Slice index 105.
FLAIR MRI.
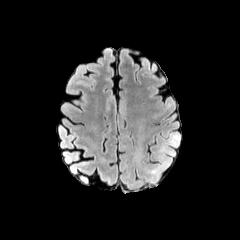
T1-weighted MR image.
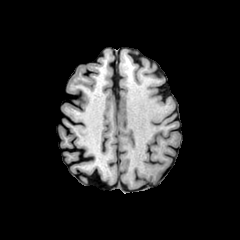
Post-contrast T1-weighted magnetic resonance.
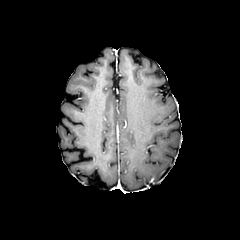
T2-weighted MR.
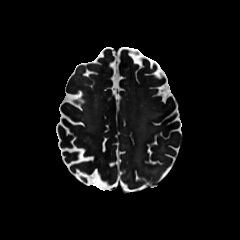
peritumoral edema = (148, 168, 160, 181)